Head | Slice index 86 | Axial view
FLAIR MR image.
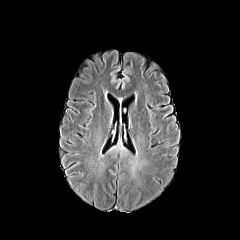
T1-weighted MRI.
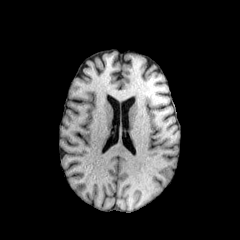
Post-contrast T1-weighted magnetic resonance.
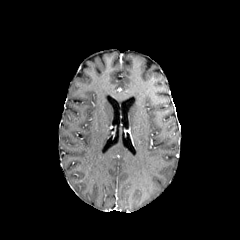
T2-weighted MRI.
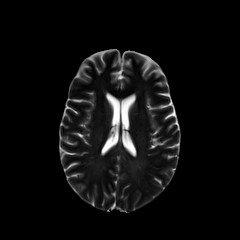
Annotated regions:
* peritumoral edema: {"x1": 130, "y1": 159, "x2": 138, "y2": 172}